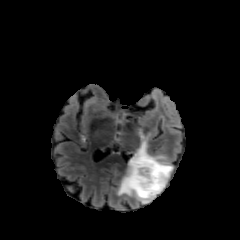
FLAIR MR image.
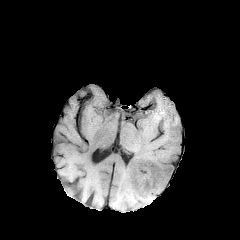
T1-weighted MR image.
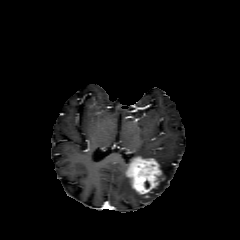
Post-contrast T1-weighted MRI of the same slice.
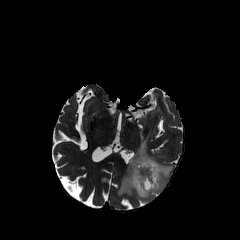
T2-weighted MR of the same slice.
Axial slice; 240x240 px
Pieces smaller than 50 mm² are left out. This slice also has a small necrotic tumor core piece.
enhancing tumor: bounding box 126:156:162:197
peritumoral edema: bounding box 117:134:173:203